Image covers 240 mm x 240 mm, Image size 240x240
FLAIR MR image.
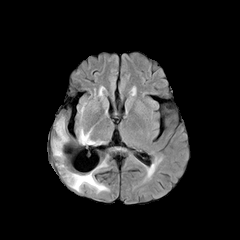
T1-weighted magnetic resonance.
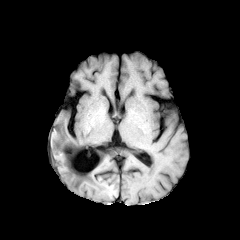
Post-contrast T1-weighted MR image.
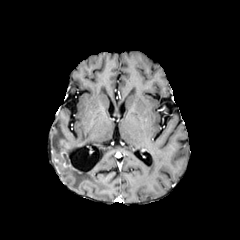
T2-weighted MRI.
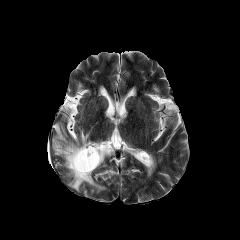
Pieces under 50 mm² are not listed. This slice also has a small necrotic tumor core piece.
{
  "peritumoral_edema": [
    "bbox=[67, 160, 106, 191]",
    "bbox=[52, 121, 66, 157]",
    "bbox=[80, 129, 96, 144]"
  ],
  "enhancing_tumor": [
    "bbox=[60, 151, 71, 166]"
  ]
}